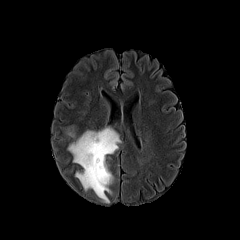
FLAIR MR image.
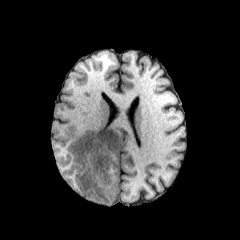
T1-weighted magnetic resonance.
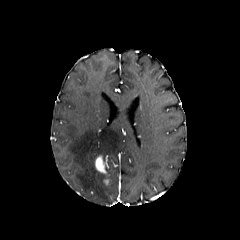
Post-contrast T1-weighted MR image.
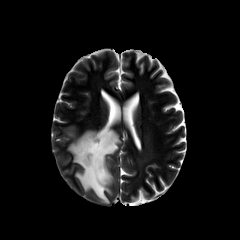
T2-weighted MRI.
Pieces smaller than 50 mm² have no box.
enhancing_tumor:
  - box=[95, 155, 107, 174]
peritumoral_edema:
  - box=[68, 127, 120, 203]